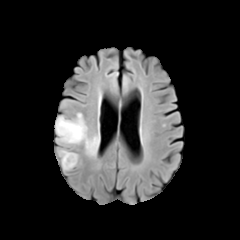
FLAIR MRI.
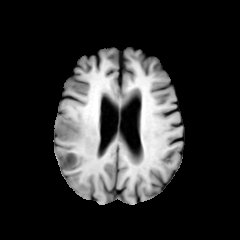
T1-weighted MR of the same slice.
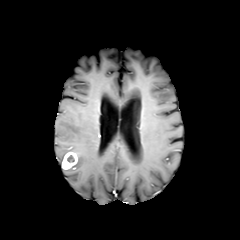
Same slice, post-contrast T1-weighted magnetic resonance.
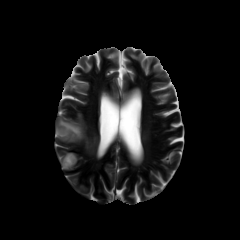
T2-weighted MR image of the same slice.
Axial view
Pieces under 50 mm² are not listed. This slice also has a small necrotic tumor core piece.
<segmentation>
  <enhancing_tumor>l=62, t=152, r=77, b=169</enhancing_tumor>
  <peritumoral_edema>l=55, t=113, r=98, b=155; l=59, t=150, r=67, b=165</peritumoral_edema>
</segmentation>